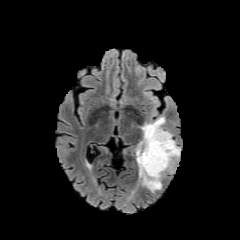
FLAIR MR.
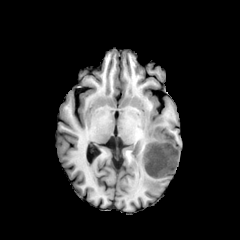
Same slice, T1-weighted MR.
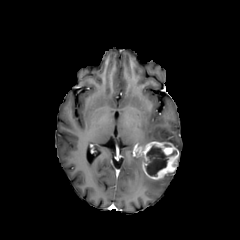
Same slice, post-contrast T1-weighted MRI.
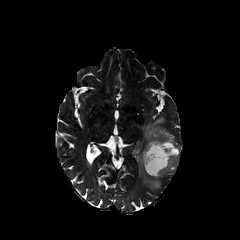
Same slice, T2-weighted MR.
Brain; Axial plane
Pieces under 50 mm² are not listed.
* enhancing tumor: bbox(139, 141, 179, 179)
* peritumoral edema: bbox(139, 117, 180, 153); bbox(136, 149, 161, 191)
* necrotic tumor core: bbox(146, 146, 176, 176)